FLAIR MR.
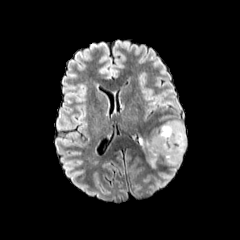
T1-weighted MR image.
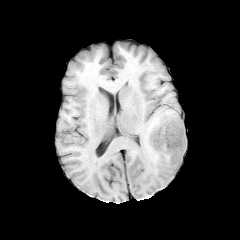
Post-contrast T1-weighted MR.
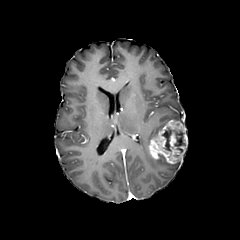
T2-weighted MR image.
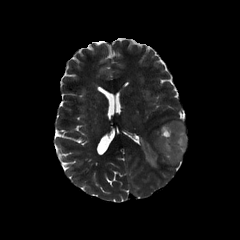
Axial view, Head
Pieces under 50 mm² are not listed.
enhancing tumor: (148, 120, 187, 164) | peritumoral edema: (148, 123, 165, 140), (139, 137, 157, 167) | necrotic tumor core: (173, 130, 183, 152), (162, 127, 171, 151)